240x240 px | Image width 240 mm | Slice 65 of 155
FLAIR MR image.
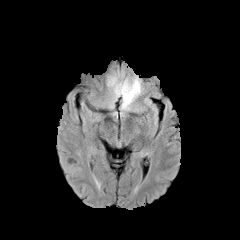
T1-weighted magnetic resonance.
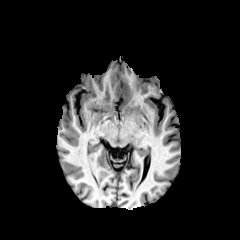
Post-contrast T1-weighted MR.
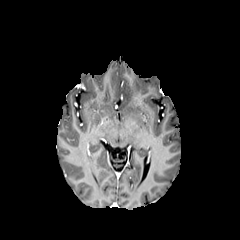
T2-weighted MRI.
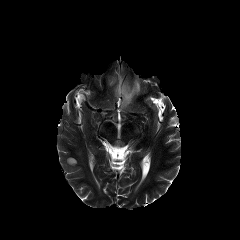
<segmentation>
  <peritumoral_edema>109,77,141,109</peritumoral_edema>
</segmentation>